FLAIR magnetic resonance.
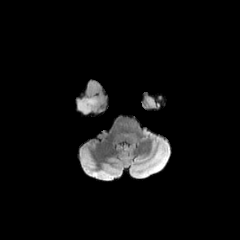
T1-weighted MR image.
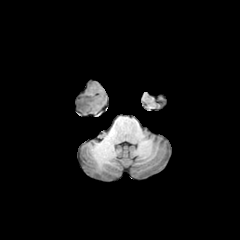
Post-contrast T1-weighted MR image.
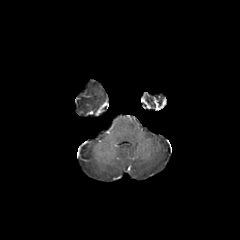
T2-weighted MRI.
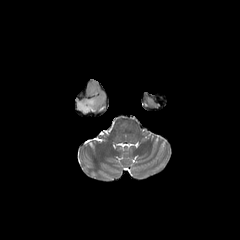
Head
peritumoral edema — 78,97,100,112